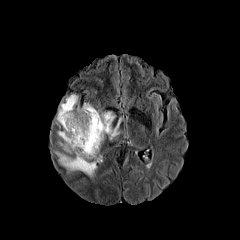
FLAIR magnetic resonance.
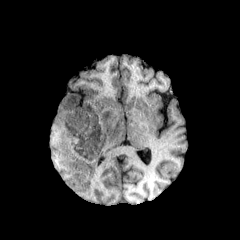
T1-weighted MR.
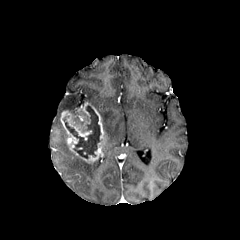
Same slice, post-contrast T1-weighted MRI.
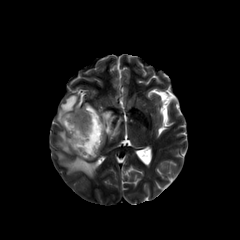
T2-weighted MRI.
Axial slice
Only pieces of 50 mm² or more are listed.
The largest necrotic tumor core region appears at [63,105,100,158]. The largest enhancing tumor region appears at [60,102,104,162]. 4 peritumoral edema regions are bounded by [56,94,78,124], [56,152,98,177], [58,130,71,153], [98,110,120,140].